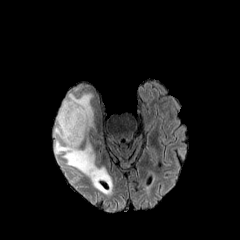
FLAIR magnetic resonance.
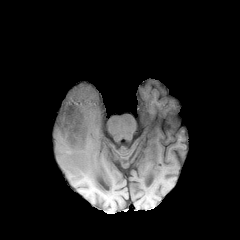
T1-weighted MR.
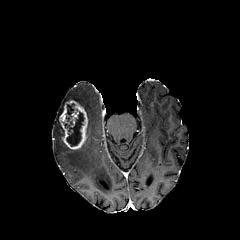
Post-contrast T1-weighted MR image.
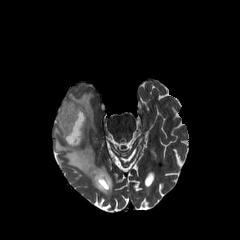
T2-weighted MR.
Brain, 240x240
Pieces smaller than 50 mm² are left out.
necrotic tumor core at box(64, 111, 84, 146); box(66, 103, 74, 120)
peritumoral edema at box(54, 86, 112, 194)
enhancing tumor at box(59, 100, 88, 149)